Image covers 240 mm x 240 mm
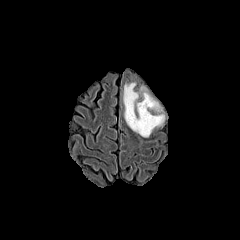
FLAIR magnetic resonance.
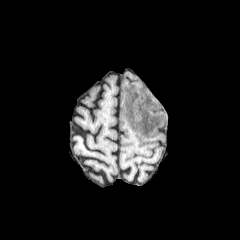
T1-weighted MRI of the same slice.
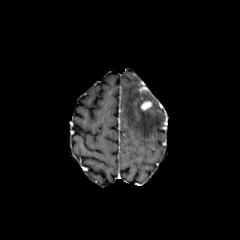
Post-contrast T1-weighted MRI of the same slice.
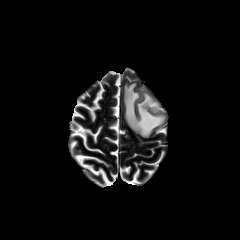
T2-weighted MR image.
peritumoral edema — (123, 83, 164, 137)
enhancing tumor — (140, 101, 152, 110)